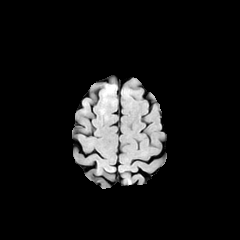
FLAIR MR.
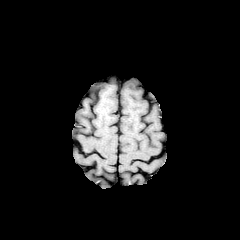
Same slice, T1-weighted MR image.
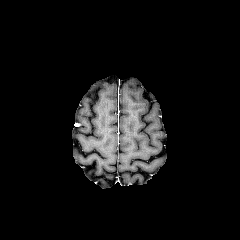
Post-contrast T1-weighted magnetic resonance.
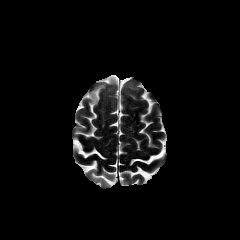
T2-weighted MRI of the same slice.
Axial slice.
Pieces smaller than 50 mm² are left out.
The largest peritumoral edema region lies within [104,85,115,95].